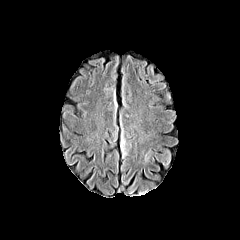
FLAIR MR image.
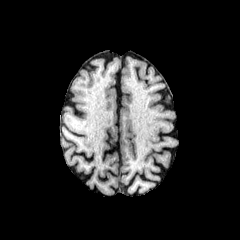
T1-weighted MR.
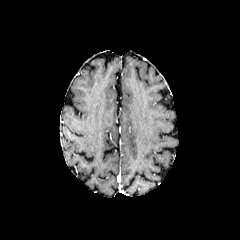
Post-contrast T1-weighted magnetic resonance.
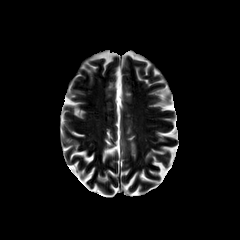
T2-weighted magnetic resonance of the same slice.
Brain, 240x240 px, Axial plane
peritumoral edema: <box>121,137,128,155</box>